FLAIR MR.
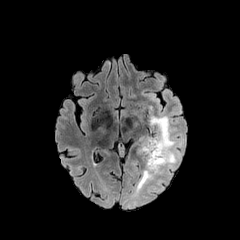
T1-weighted MR.
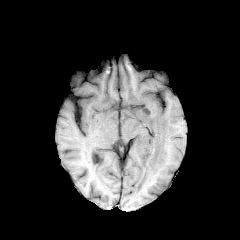
Post-contrast T1-weighted MR image.
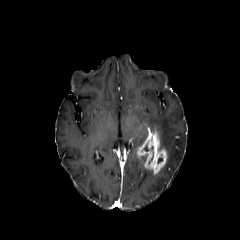
T2-weighted MR.
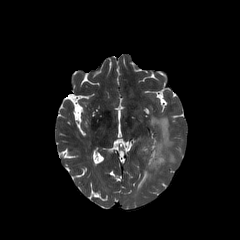
Axial view
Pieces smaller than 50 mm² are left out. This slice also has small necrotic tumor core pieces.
enhancing tumor — (left=135, top=128, right=167, bottom=173)
peritumoral edema — (left=135, top=116, right=183, bottom=192)